FLAIR MR.
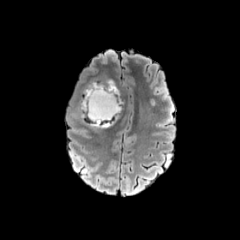
T1-weighted magnetic resonance.
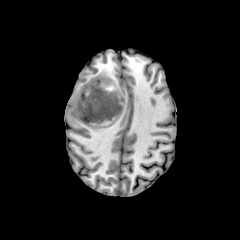
Post-contrast T1-weighted MR image.
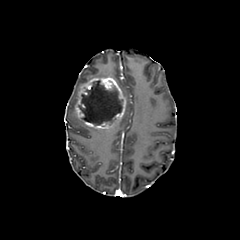
T2-weighted MRI.
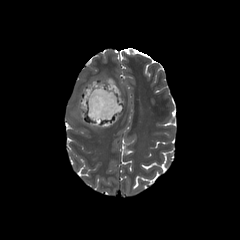
Axial view
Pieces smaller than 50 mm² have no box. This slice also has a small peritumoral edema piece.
necrotic tumor core at 78 80 122 125
enhancing tumor at 74 77 126 128